FLAIR MR image.
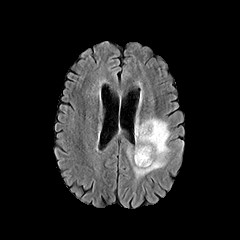
T1-weighted MR.
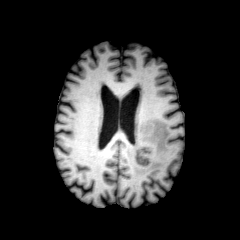
Post-contrast T1-weighted MR.
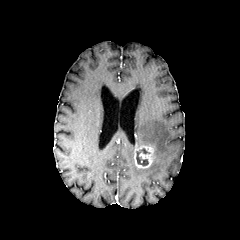
T2-weighted MRI.
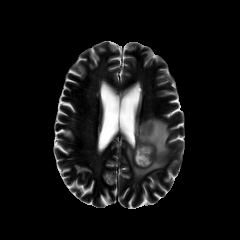
Head; Axial plane
<segmentation>
  <enhancing_tumor>134,145,153,168</enhancing_tumor>
  <peritumoral_edema>126,117,170,179</peritumoral_edema>
  <necrotic_tumor_core>136,148,149,165</necrotic_tumor_core>
</segmentation>